Axial view | Image covers 240 mm x 240 mm
FLAIR MRI.
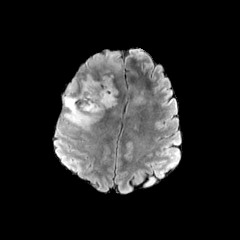
T1-weighted MR.
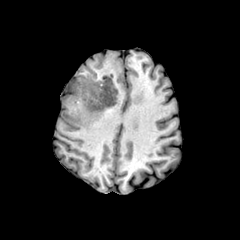
Post-contrast T1-weighted magnetic resonance.
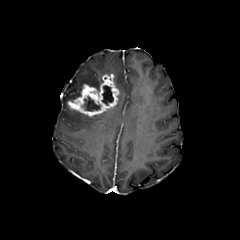
T2-weighted MR.
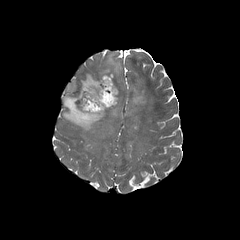
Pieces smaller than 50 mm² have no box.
peritumoral_edema:
  - region(107, 52, 120, 72)
  - region(62, 70, 109, 130)
  - region(133, 91, 144, 103)
necrotic_tumor_core:
  - region(102, 85, 113, 105)
  - region(83, 96, 100, 111)
enhancing_tumor:
  - region(67, 74, 119, 117)